Slice 93/155 | Image width 240 mm
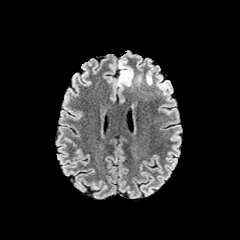
FLAIR MR image.
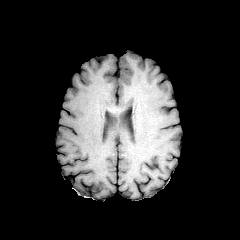
Same slice, T1-weighted MRI.
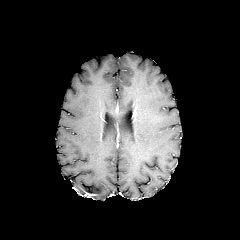
Post-contrast T1-weighted MR.
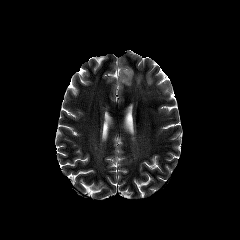
Same slice, T2-weighted MR.
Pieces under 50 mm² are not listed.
peritumoral edema — {"x1": 117, "y1": 61, "x2": 133, "y2": 87}